Slice 98 of 155
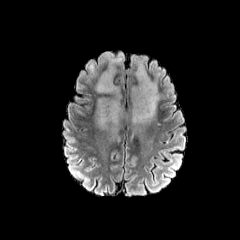
FLAIR MR image.
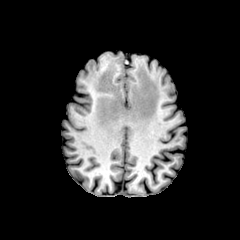
Same slice, T1-weighted MRI.
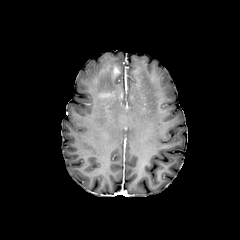
Post-contrast T1-weighted MR of the same slice.
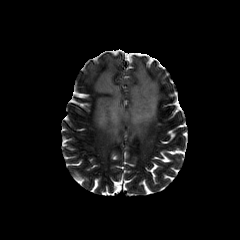
Same slice, T2-weighted MR.
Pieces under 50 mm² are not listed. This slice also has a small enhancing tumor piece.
Segmented structures:
* peritumoral edema: x1=95, y1=54, x2=159, y2=134